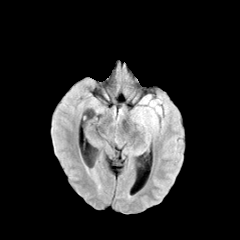
FLAIR MR.
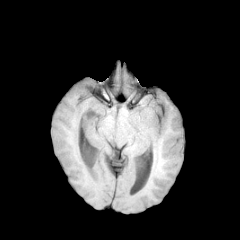
T1-weighted MRI.
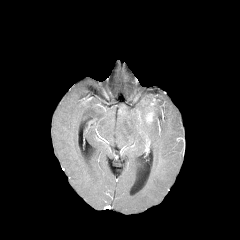
Same slice, post-contrast T1-weighted MR.
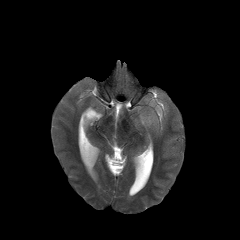
T2-weighted MR of the same slice.
Axial view
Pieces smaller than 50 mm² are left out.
enhancing tumor: left=145, top=112, right=153, bottom=123 | peritumoral edema: left=139, top=98, right=162, bottom=127